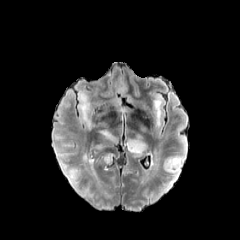
FLAIR magnetic resonance.
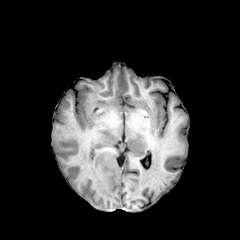
Same slice, T1-weighted MRI.
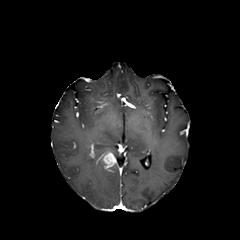
Post-contrast T1-weighted MR of the same slice.
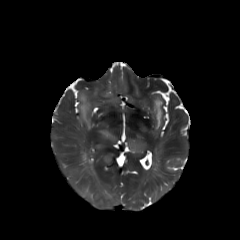
Same slice, T2-weighted MRI.
Image size 240x240, Head, Axial plane
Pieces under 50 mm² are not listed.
peritumoral edema at left=78, top=93, right=91, bottom=128; left=154, top=100, right=161, bottom=118; left=128, top=140, right=145, bottom=153; left=84, top=156, right=96, bottom=176; left=100, top=130, right=114, bottom=140
enhancing tumor at left=100, top=152, right=115, bottom=168